FLAIR MR.
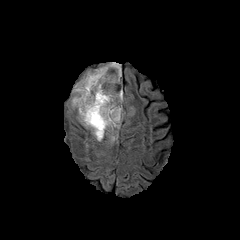
T1-weighted MRI.
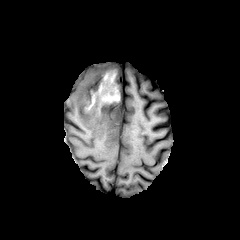
Post-contrast T1-weighted MRI.
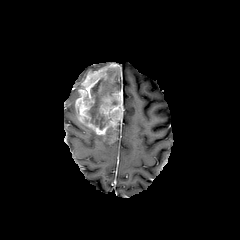
T2-weighted MR.
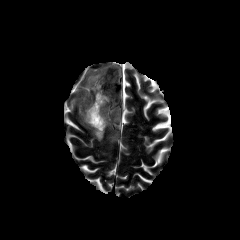
Image size 240x240 | Head
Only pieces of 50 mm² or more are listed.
peritumoral edema = 71,80,82,108; 91,129,104,141
necrotic tumor core = 88,69,120,129
enhancing tumor = 75,63,123,143